Head | Axial view
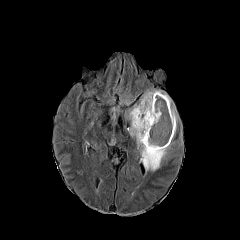
FLAIR MRI.
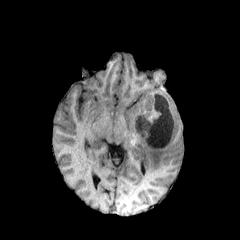
T1-weighted MRI of the same slice.
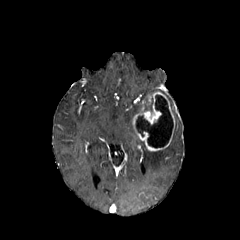
Same slice, post-contrast T1-weighted magnetic resonance.
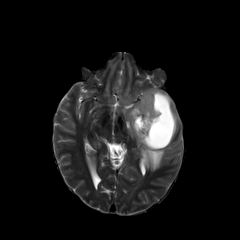
Same slice, T2-weighted MR image.
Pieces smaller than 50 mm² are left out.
{
  "necrotic_tumor_core": [
    "rect(136, 95, 173, 147)"
  ],
  "enhancing_tumor": [
    "rect(132, 91, 175, 151)"
  ],
  "peritumoral_edema": [
    "rect(144, 98, 155, 118)",
    "rect(127, 89, 178, 171)"
  ]
}